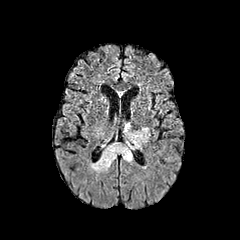
FLAIR magnetic resonance.
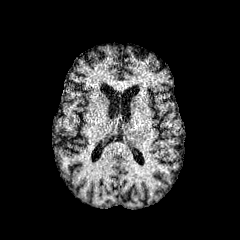
T1-weighted magnetic resonance.
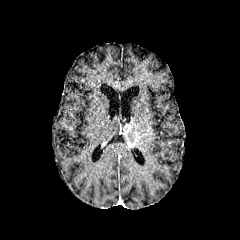
Same slice, post-contrast T1-weighted MRI.
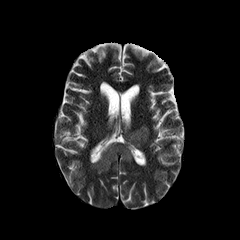
Same slice, T2-weighted magnetic resonance.
Axial view; Image size 240x240; Brain
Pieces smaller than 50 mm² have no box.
peritumoral edema: 92 143 132 171, 123 122 135 143, 133 127 149 148 | enhancing tumor: 135 131 147 144